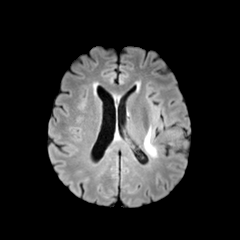
FLAIR MR image.
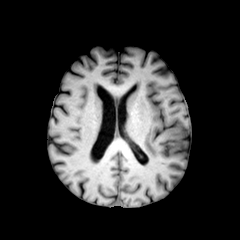
T1-weighted MRI.
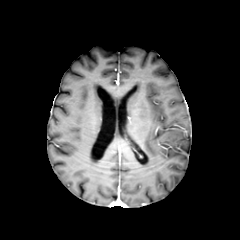
Post-contrast T1-weighted MR.
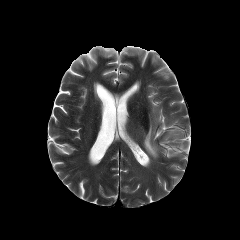
Same slice, T2-weighted MR image.
Axial plane
The peritumoral edema lies within x1=144 y1=127 x2=157 y2=157.